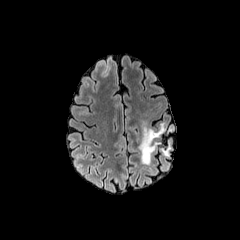
FLAIR MR image.
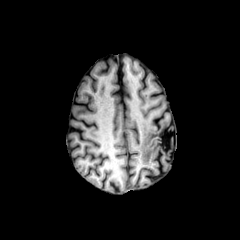
Same slice, T1-weighted MR.
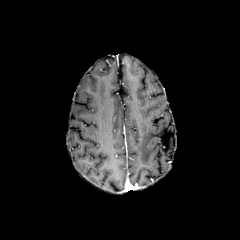
Post-contrast T1-weighted MRI.
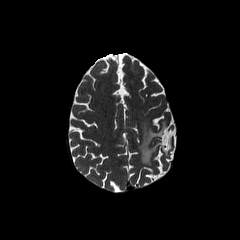
T2-weighted magnetic resonance of the same slice.
Axial slice
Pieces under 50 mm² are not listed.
The 2 largest peritumoral edema regions appear at box=[139, 123, 165, 164]; box=[162, 140, 171, 156].